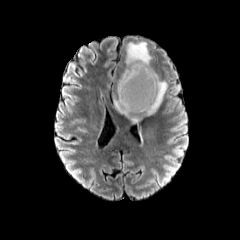
FLAIR MRI.
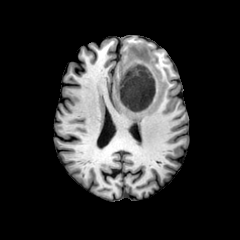
T1-weighted MRI.
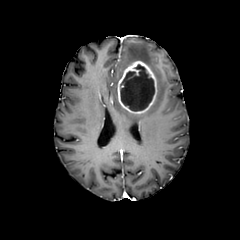
Post-contrast T1-weighted MRI.
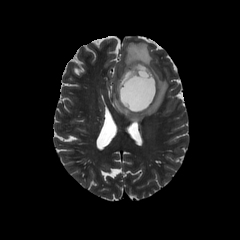
T2-weighted MRI of the same slice.
Axial slice; Image size 240x240; Brain
enhancing tumor at 117 61 157 114
necrotic tumor core at 120 65 154 111
peritumoral edema at 114 68 167 121, 125 42 151 67